Axial slice | Head | Image covers 240 mm x 240 mm
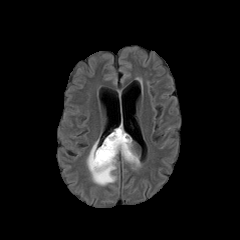
FLAIR magnetic resonance.
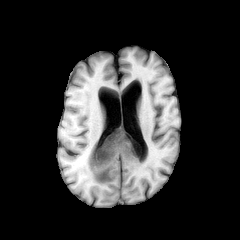
T1-weighted magnetic resonance of the same slice.
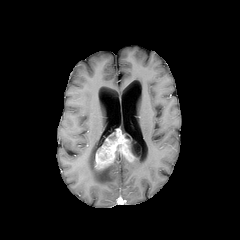
Same slice, post-contrast T1-weighted MR.
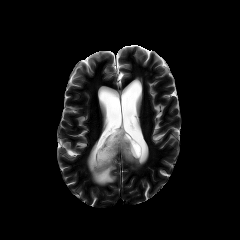
T2-weighted MR image of the same slice.
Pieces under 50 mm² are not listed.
* peritumoral edema: [x1=87, y1=139, x2=119, y2=185], [x1=122, y1=155, x2=140, y2=168]
* necrotic tumor core: [x1=125, y1=135, x2=139, y2=156]
* enhancing tumor: [x1=95, y1=128, x2=141, y2=169]